Brain; Axial plane; Slice 131 of 155
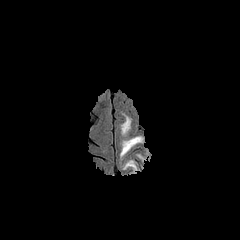
FLAIR MRI.
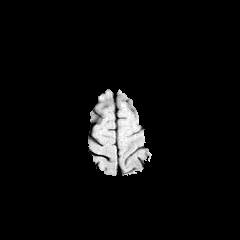
T1-weighted MR image.
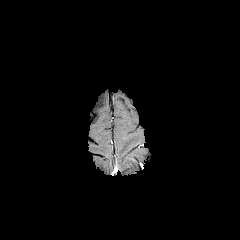
Post-contrast T1-weighted magnetic resonance.
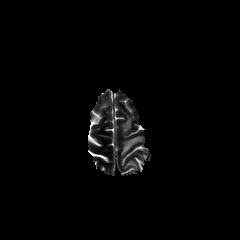
T2-weighted MR image of the same slice.
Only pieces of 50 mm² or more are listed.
Annotated regions:
- peritumoral edema: box=[123, 160, 137, 172]; box=[120, 114, 132, 136]; box=[120, 136, 143, 159]